FLAIR MRI.
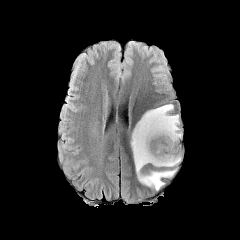
T1-weighted MRI.
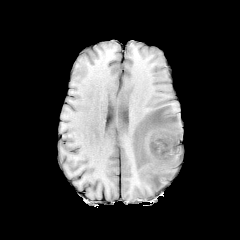
Post-contrast T1-weighted MR.
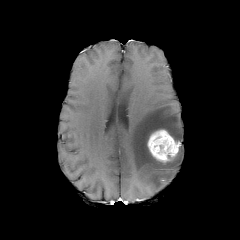
T2-weighted MRI.
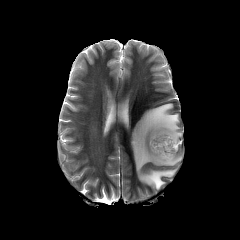
Brain, 240x240
peritumoral edema: bounding box (131, 104, 182, 190)
enhancing tumor: bounding box (147, 129, 180, 163)